FLAIR MR.
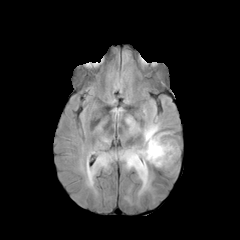
T1-weighted MR.
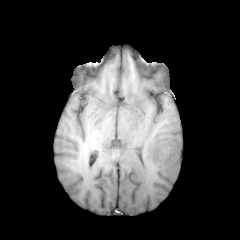
Post-contrast T1-weighted MR.
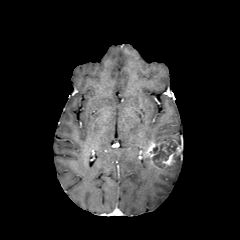
T2-weighted MRI.
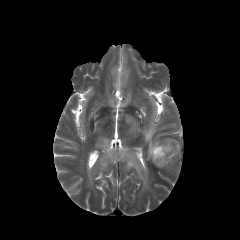
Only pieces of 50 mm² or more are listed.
{
  "peritumoral_edema": [
    "165:154:180:172",
    "87:120:173:195"
  ],
  "enhancing_tumor": [
    "143:139:181:169"
  ],
  "necrotic_tumor_core": [
    "152:141:176:168"
  ]
}